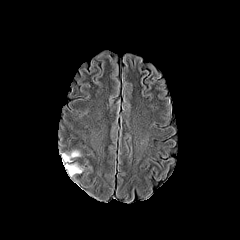
FLAIR MRI.
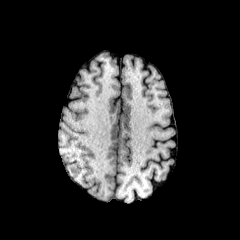
Same slice, T1-weighted MRI.
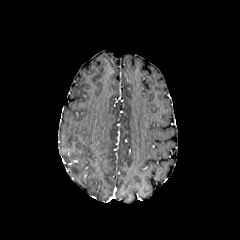
Same slice, post-contrast T1-weighted magnetic resonance.
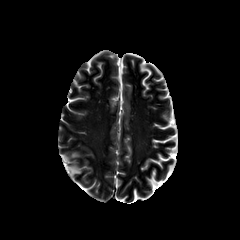
T2-weighted MRI.
Axial view | Head
2 peritumoral edema regions are bounded by 62, 151, 79, 161; 65, 165, 81, 175.